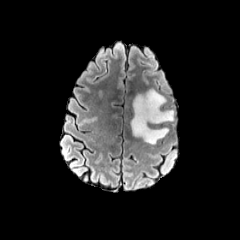
FLAIR MRI.
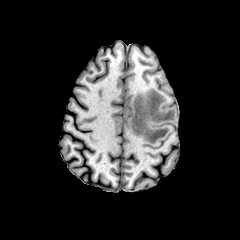
Same slice, T1-weighted MR.
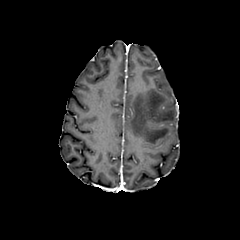
Post-contrast T1-weighted magnetic resonance.
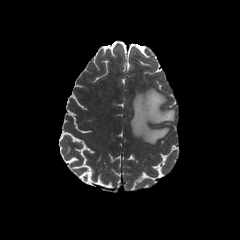
T2-weighted magnetic resonance.
Brain | 240x240 px
<segmentation>
  <peritumoral_edema>bbox=[130, 88, 174, 144]</peritumoral_edema>
</segmentation>